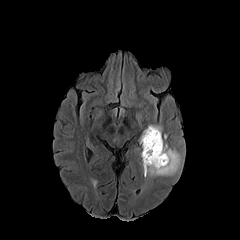
FLAIR magnetic resonance.
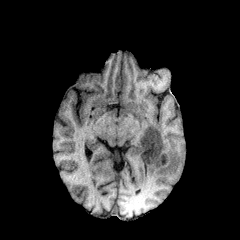
T1-weighted MR.
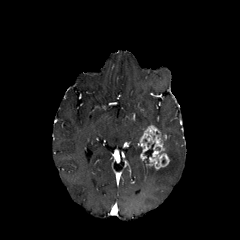
Same slice, post-contrast T1-weighted MRI.
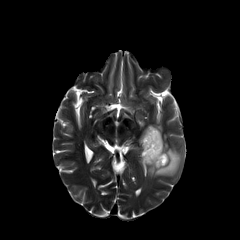
T2-weighted MRI of the same slice.
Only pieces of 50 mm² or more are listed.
The largest enhancing tumor region is at (139, 125, 169, 169). The largest necrotic tumor core region is bounded by (144, 143, 154, 163). The largest peritumoral edema region appears at (143, 143, 181, 177).